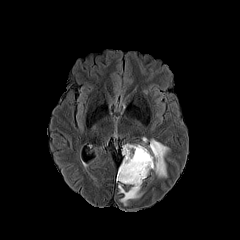
FLAIR MRI.
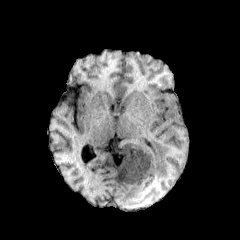
T1-weighted MR of the same slice.
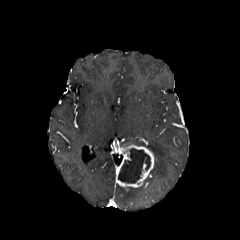
Same slice, post-contrast T1-weighted magnetic resonance.
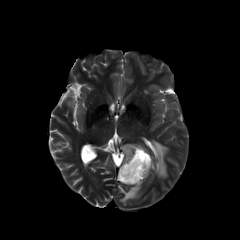
T2-weighted MR image of the same slice.
240x240 px, Brain
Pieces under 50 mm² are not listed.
peritumoral edema = x1=118, y1=185, x2=142, y2=205; x1=150, y1=139, x2=169, y2=177
necrotic tumor core = x1=118, y1=148, x2=150, y2=183
enhancing tumor = x1=116, y1=143, x2=154, y2=187